FLAIR MR.
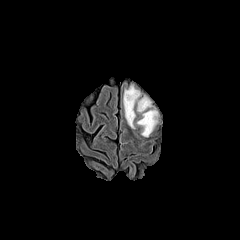
T1-weighted MR.
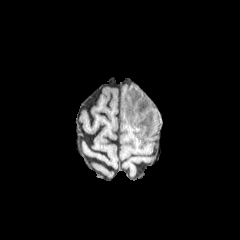
Post-contrast T1-weighted MRI.
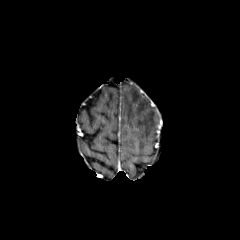
T2-weighted MR image.
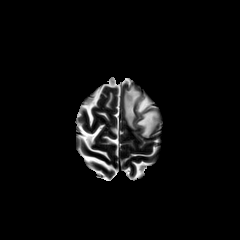
Head. 240x240 px.
<segmentation>
  <peritumoral_edema>left=123, top=85, right=158, bottom=137</peritumoral_edema>
</segmentation>